Image width 240 mm, 1.00 mm slice spacing; Axial plane; Slice 119 of 155
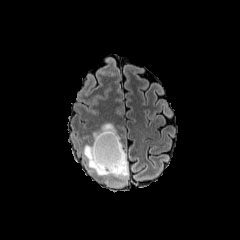
FLAIR MRI.
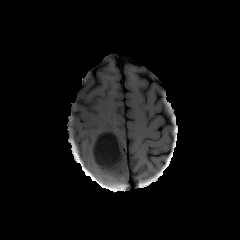
Same slice, T1-weighted MRI.
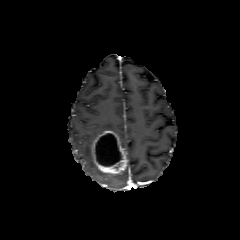
Post-contrast T1-weighted MR image.
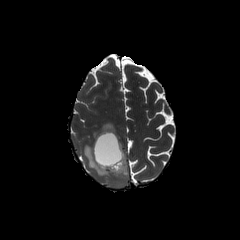
T2-weighted magnetic resonance of the same slice.
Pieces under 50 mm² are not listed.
The largest necrotic tumor core region lies within 95:133:121:166. The 2 largest peritumoral edema regions are bounded by 93:123:118:140, 83:144:128:178. The enhancing tumor is bounded by 91:130:127:175.